FLAIR MR.
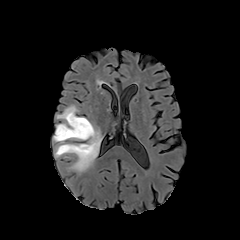
T1-weighted MR image.
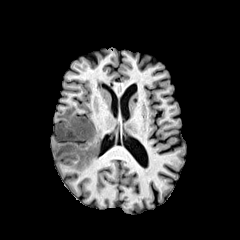
Post-contrast T1-weighted magnetic resonance.
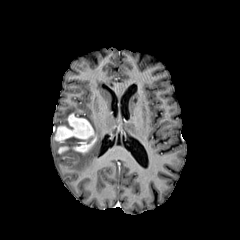
T2-weighted magnetic resonance.
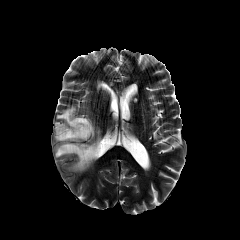
Head
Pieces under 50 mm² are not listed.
enhancing tumor at [58, 146, 69, 153], [54, 113, 96, 153]
peritumoral edema at [56, 105, 78, 130], [53, 122, 102, 172]